Brain | Axial slice
FLAIR magnetic resonance.
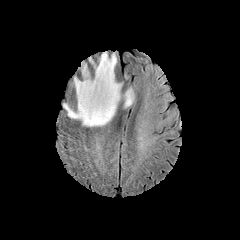
T1-weighted MRI.
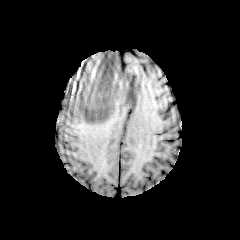
Post-contrast T1-weighted magnetic resonance.
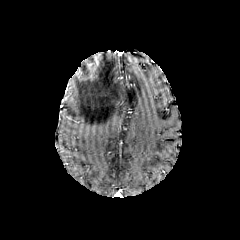
T2-weighted MR.
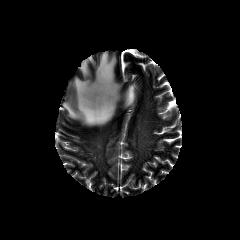
{"peritumoral_edema": ["<box>63,51,135,126</box>"]}